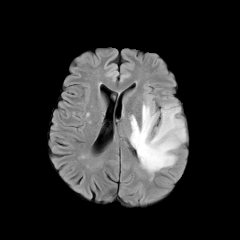
FLAIR MR image.
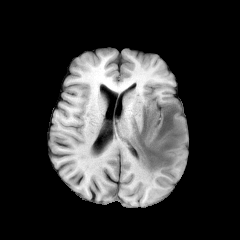
T1-weighted MR of the same slice.
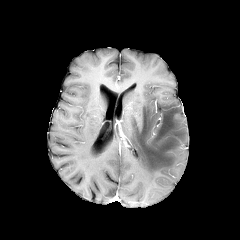
Post-contrast T1-weighted MR image.
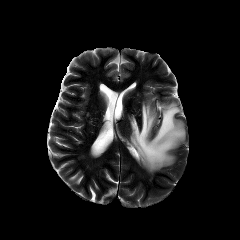
Same slice, T2-weighted MRI.
peritumoral_edema:
  - (129,99,185,174)